FLAIR MR image.
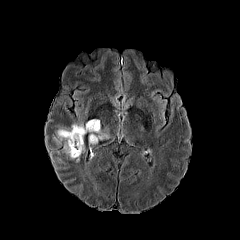
T1-weighted MRI.
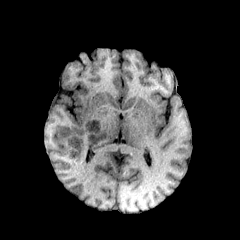
Post-contrast T1-weighted MR image.
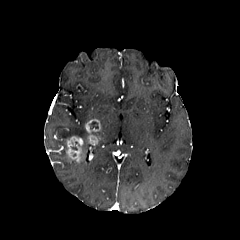
T2-weighted MRI.
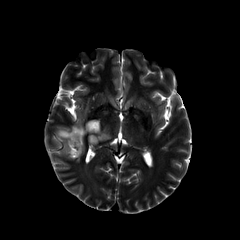
Brain.
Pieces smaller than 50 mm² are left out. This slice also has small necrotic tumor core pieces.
The 2 largest peritumoral edema regions are bounded by 99:128:109:140, 58:123:86:139. The 2 largest enhancing tumor regions are located at 86:119:101:145, 66:136:83:161.